240x240 px; Axial slice; Slice 116 of 155
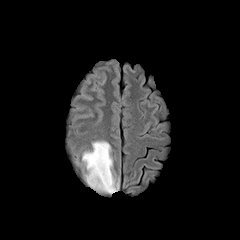
FLAIR MR.
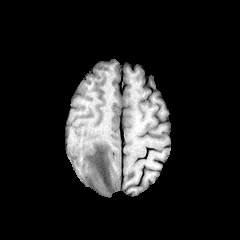
Same slice, T1-weighted MR image.
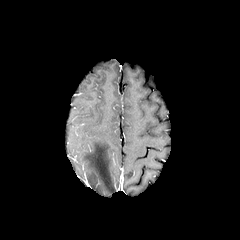
Post-contrast T1-weighted MRI of the same slice.
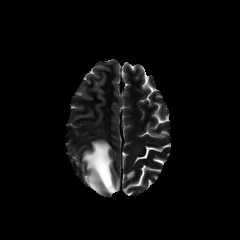
T2-weighted MR of the same slice.
<segmentation>
  <peritumoral_edema>left=82, top=140, right=119, bottom=194</peritumoral_edema>
</segmentation>